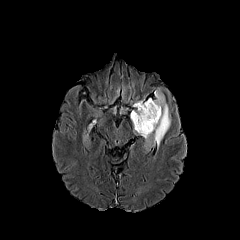
FLAIR magnetic resonance.
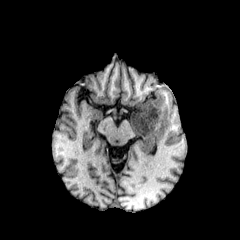
Same slice, T1-weighted MR image.
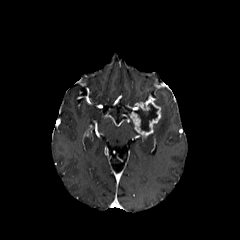
Post-contrast T1-weighted MRI.
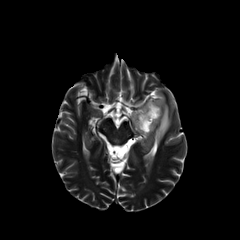
T2-weighted magnetic resonance of the same slice.
240x240, Brain, Axial plane
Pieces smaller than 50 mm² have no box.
The largest peritumoral edema region is at (left=145, top=89, right=170, bottom=149). The necrotic tumor core is bounded by (left=134, top=103, right=157, bottom=131). The enhancing tumor lies within (left=130, top=98, right=161, bottom=137).